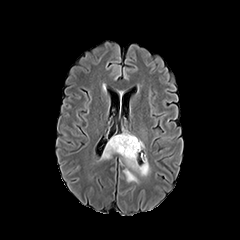
FLAIR MR.
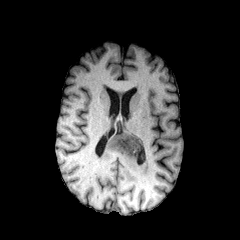
T1-weighted magnetic resonance.
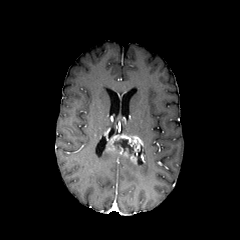
Post-contrast T1-weighted MRI of the same slice.
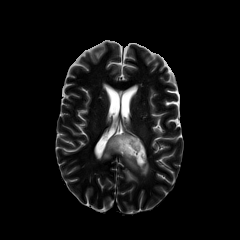
Same slice, T2-weighted magnetic resonance.
Brain; Axial view; Image size 240x240
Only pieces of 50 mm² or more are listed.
peritumoral edema: left=101, top=141, right=117, bottom=159; left=121, top=155, right=149, bottom=175; left=123, top=168, right=137, bottom=182 | enhancing tumor: left=118, top=146, right=136, bottom=163; left=107, top=133, right=143, bottom=155 | necrotic tumor core: left=113, top=139, right=137, bottom=159